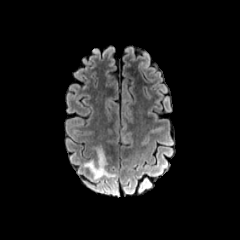
FLAIR MRI.
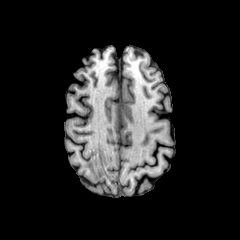
Same slice, T1-weighted MR image.
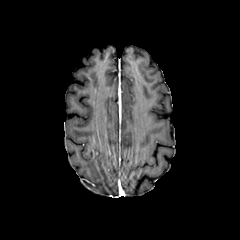
Same slice, post-contrast T1-weighted MR image.
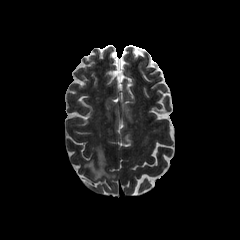
T2-weighted MR of the same slice.
Head; Image size 240x240; Axial slice
- peritumoral edema: left=84, top=147, right=115, bottom=180